Axial view. Image width 240 mm, 1.00 mm slice spacing.
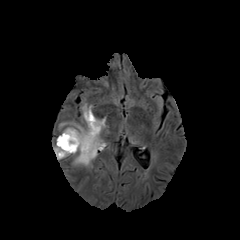
FLAIR MR image.
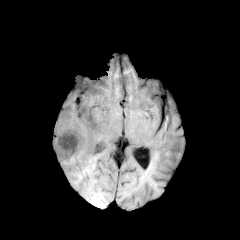
Same slice, T1-weighted MR.
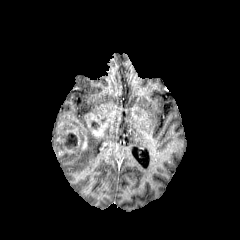
Same slice, post-contrast T1-weighted magnetic resonance.
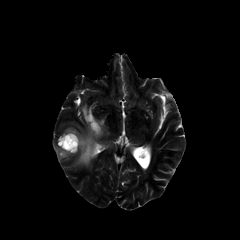
T2-weighted MR.
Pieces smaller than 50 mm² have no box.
Annotated regions:
* peritumoral edema: (60,104,106,166), (97,118,106,129), (54,141,70,159)
* enhancing tumor: (57,129,87,155), (85,113,103,136)
* necrotic tumor core: (64,134,77,146)